Slice 47/155, Axial view, Image width 240 mm, 1.00 mm slice spacing
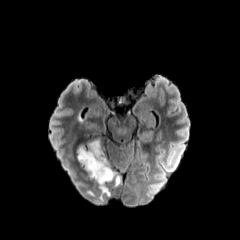
FLAIR MRI.
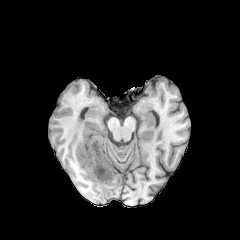
T1-weighted magnetic resonance.
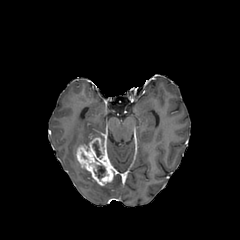
Post-contrast T1-weighted MRI.
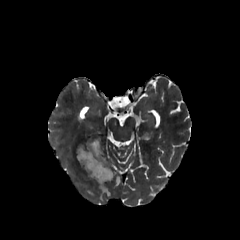
T2-weighted MR.
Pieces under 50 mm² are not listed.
The enhancing tumor is bounded by 76, 137, 117, 185. The 2 largest necrotic tumor core regions appear at 93, 141, 101, 157; 94, 165, 105, 178. The 2 largest peritumoral edema regions are bounded by 98, 184, 110, 199; 113, 174, 120, 186.